Image width 240 mm, 1.00 mm slice spacing
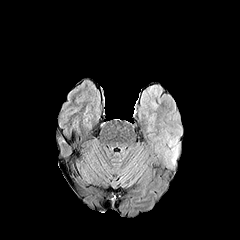
FLAIR magnetic resonance.
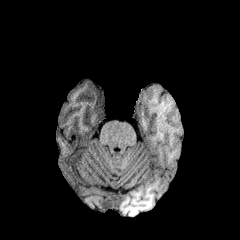
T1-weighted MR image of the same slice.
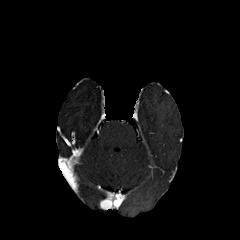
Post-contrast T1-weighted MR.
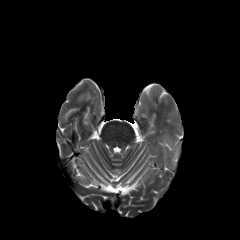
Same slice, T2-weighted magnetic resonance.
Findings:
• peritumoral edema: bbox(169, 139, 178, 161)